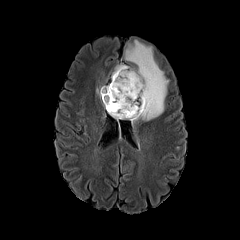
FLAIR MR.
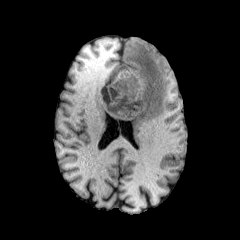
Same slice, T1-weighted MR image.
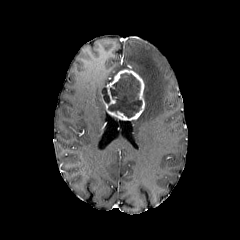
Same slice, post-contrast T1-weighted MR.
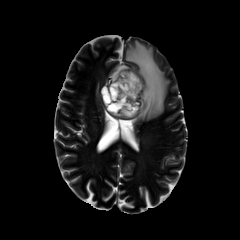
Same slice, T2-weighted MRI.
240x240 px
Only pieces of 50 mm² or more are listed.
<segmentation>
  <necrotic_tumor_core>(x1=108, y1=73, x2=141, y2=117), (x1=101, y1=87, x2=110, y2=103)</necrotic_tumor_core>
  <peritumoral_edema>(x1=125, y1=40, x2=168, y2=120), (x1=112, y1=64, x2=130, y2=79)</peritumoral_edema>
  <enhancing_tumor>(x1=101, y1=68, x2=144, y2=120)</enhancing_tumor>
</segmentation>